Axial view | Image width 240 mm | Head
FLAIR MR.
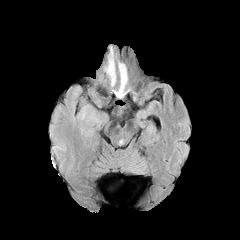
T1-weighted MR.
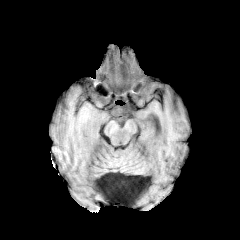
Post-contrast T1-weighted MRI.
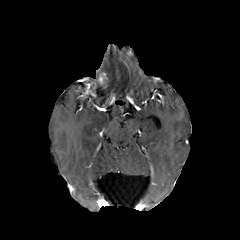
T2-weighted MRI.
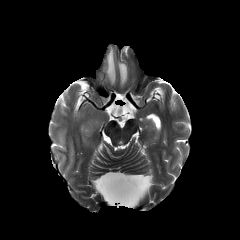
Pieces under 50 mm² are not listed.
peritumoral edema: l=104, t=48, r=116, b=85; l=115, t=62, r=127, b=96 | enhancing tumor: l=98, t=73, r=106, b=84